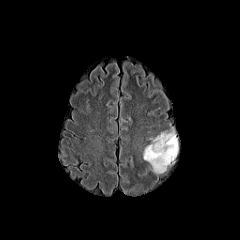
FLAIR MR image.
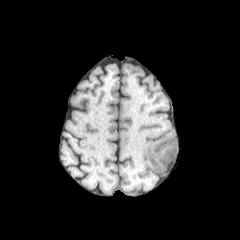
T1-weighted magnetic resonance.
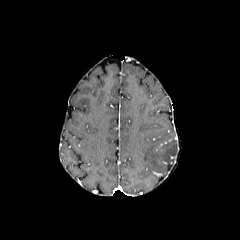
Post-contrast T1-weighted MR.
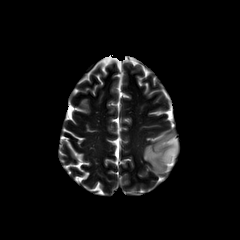
T2-weighted MRI.
Brain, Axial view
<segmentation>
  <peritumoral_edema>box(143, 131, 177, 173)</peritumoral_edema>
</segmentation>